Image size 240x240.
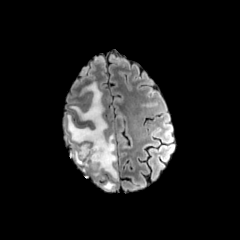
FLAIR MR image.
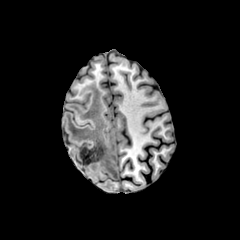
T1-weighted MR of the same slice.
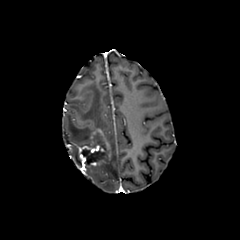
Same slice, post-contrast T1-weighted MRI.
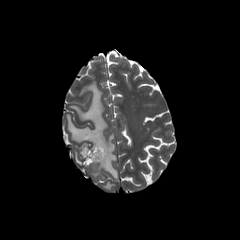
Same slice, T2-weighted MRI.
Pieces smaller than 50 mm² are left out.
The 3 largest peritumoral edema regions are located at bbox(67, 82, 107, 165); bbox(102, 181, 115, 190); bbox(87, 134, 117, 179). The largest enhancing tumor region is bounded by bbox(78, 128, 111, 171). The necrotic tumor core appears at bbox(81, 133, 108, 166).